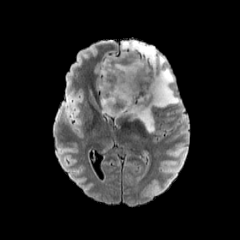
FLAIR MR.
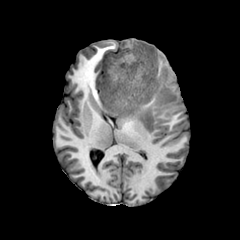
Same slice, T1-weighted MR.
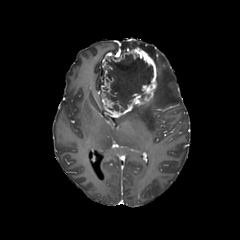
Post-contrast T1-weighted MR.
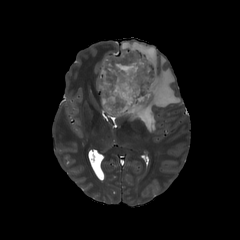
T2-weighted MR of the same slice.
Head | Axial view
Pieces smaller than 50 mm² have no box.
The largest peritumoral edema region appears at box=[121, 41, 180, 132]. The largest enhancing tumor region appears at box=[101, 46, 157, 117]. The largest necrotic tumor core region lies within box=[106, 54, 152, 111].